Image width 240 mm, 1.00 mm slice spacing, Brain, Image size 240x240
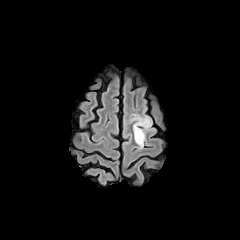
FLAIR MRI.
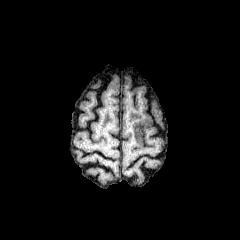
T1-weighted MRI of the same slice.
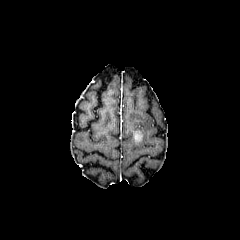
Post-contrast T1-weighted MR of the same slice.
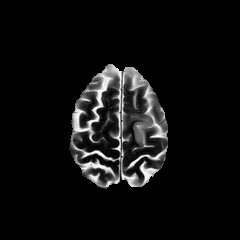
T2-weighted MRI of the same slice.
enhancing tumor: 134:130:143:142 | peritumoral edema: 130:113:153:149